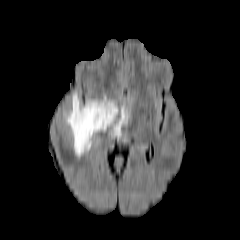
FLAIR magnetic resonance.
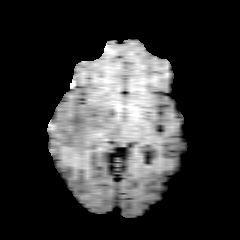
Same slice, T1-weighted MR.
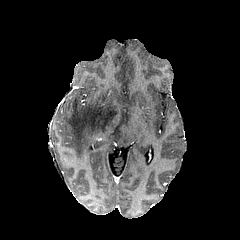
Same slice, post-contrast T1-weighted magnetic resonance.
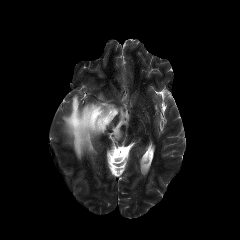
Same slice, T2-weighted magnetic resonance.
240x240 px | Head
The peritumoral edema appears at box=[64, 94, 128, 157].